Axial view
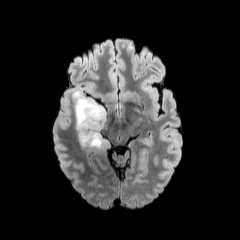
FLAIR MR image.
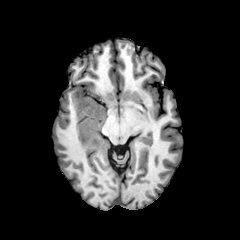
Same slice, T1-weighted MRI.
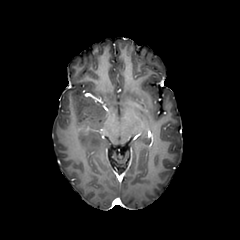
Post-contrast T1-weighted MRI.
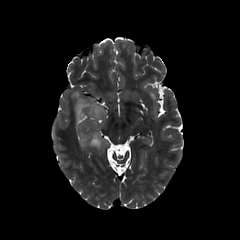
T2-weighted MRI.
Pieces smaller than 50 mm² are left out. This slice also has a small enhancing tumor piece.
{"peritumoral_edema": ["box(72, 90, 107, 151)"]}